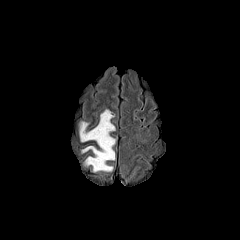
FLAIR MRI.
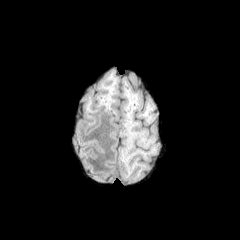
T1-weighted MRI of the same slice.
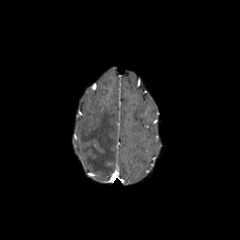
Post-contrast T1-weighted MR of the same slice.
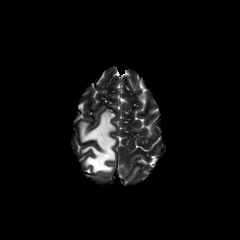
T2-weighted MRI of the same slice.
Axial view | Image size 240x240
The peritumoral edema is located at (80,109,115,172).